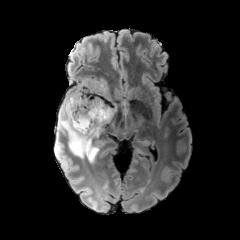
FLAIR MR image.
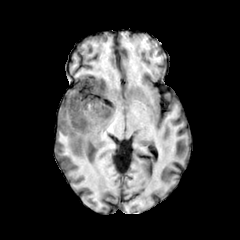
T1-weighted MR image.
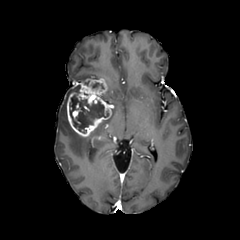
Post-contrast T1-weighted MR image.
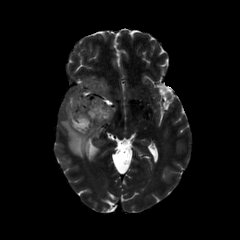
T2-weighted MRI.
240x240 px, Head, Axial view
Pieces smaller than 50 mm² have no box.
peritumoral edema: 58,85,101,157 | necrotic tumor core: 69,95,108,133 | enhancing tumor: 72,109,80,123; 66,77,111,137